FLAIR MR.
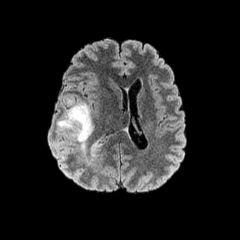
T1-weighted MRI.
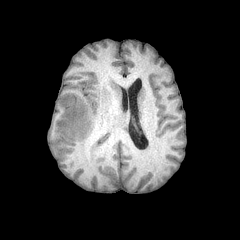
Post-contrast T1-weighted MRI.
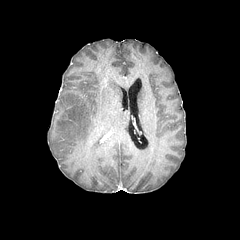
T2-weighted MR.
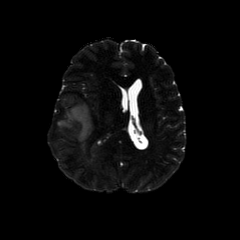
Axial slice | Brain | 240x240
The peritumoral edema is bounded by 58, 99, 94, 149.